FLAIR MR.
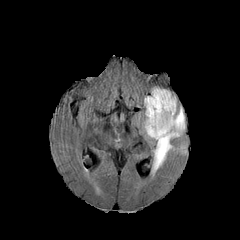
T1-weighted magnetic resonance.
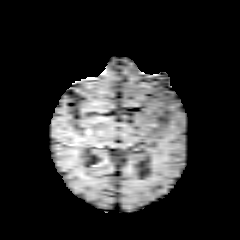
Post-contrast T1-weighted MRI.
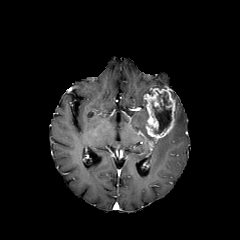
T2-weighted magnetic resonance.
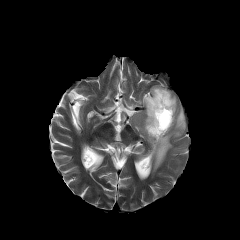
240x240 px. Brain. Axial view.
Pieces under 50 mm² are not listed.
Annotated regions:
- necrotic tumor core: (151, 92, 171, 133)
- peritumoral edema: (142, 109, 154, 139), (152, 99, 185, 174)
- enhancing tumor: (144, 88, 175, 140)